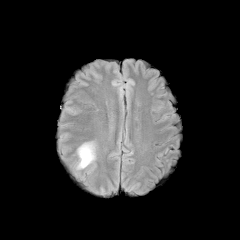
FLAIR MR.
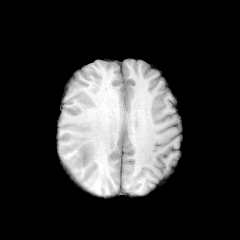
T1-weighted magnetic resonance.
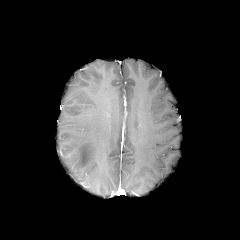
Post-contrast T1-weighted MRI of the same slice.
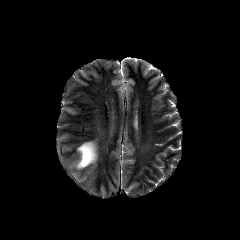
T2-weighted MR image.
Axial plane; 240x240 px
peritumoral_edema:
  - 77, 142, 96, 168